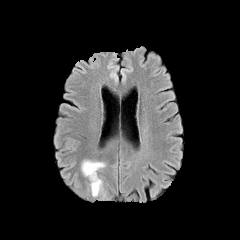
FLAIR MR.
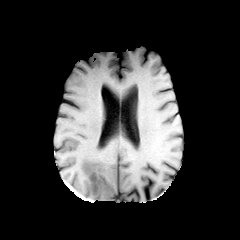
Same slice, T1-weighted MRI.
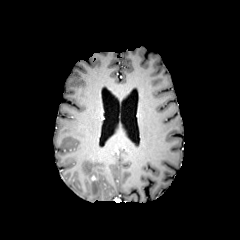
Post-contrast T1-weighted MR.
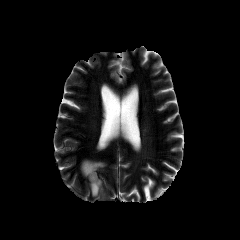
T2-weighted MR.
240x240; Brain
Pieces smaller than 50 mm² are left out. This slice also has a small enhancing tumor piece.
peritumoral edema at 81 160 105 196